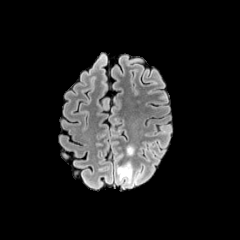
FLAIR MRI.
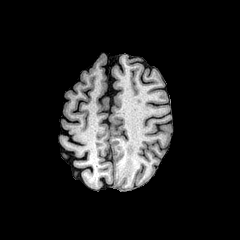
T1-weighted magnetic resonance.
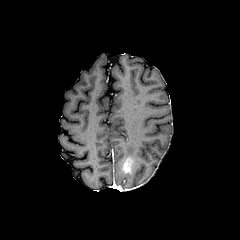
Same slice, post-contrast T1-weighted MR image.
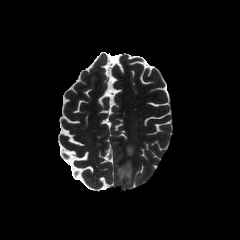
T2-weighted MR image.
Brain | Image size 240x240
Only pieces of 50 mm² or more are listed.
enhancing tumor — [122,160,131,173]
peritumoral edema — [117,165,132,184]